FLAIR MR image.
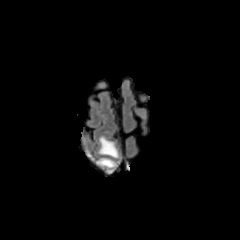
T1-weighted magnetic resonance.
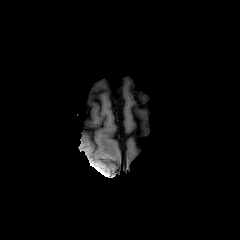
Post-contrast T1-weighted MRI.
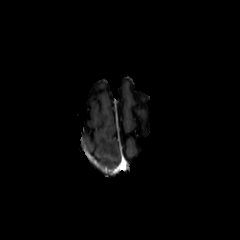
T2-weighted MR.
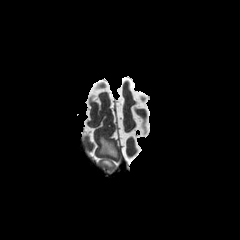
Axial view
Segmented structures:
- peritumoral edema: box(97, 158, 114, 167); box(99, 136, 118, 157)